Slice 103/155; Image width 240 mm, 1.00 mm slice spacing
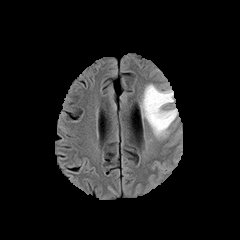
FLAIR MR image.
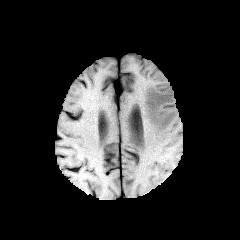
Same slice, T1-weighted MR image.
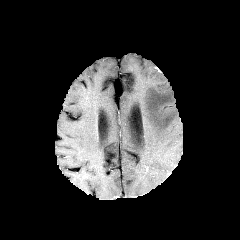
Same slice, post-contrast T1-weighted magnetic resonance.
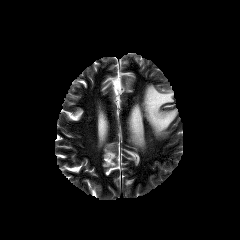
T2-weighted MRI.
The peritumoral edema is bounded by (x1=141, y1=84, x2=177, y2=137).